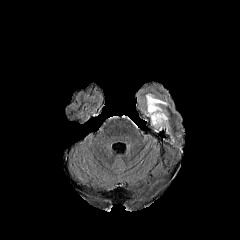
FLAIR MRI.
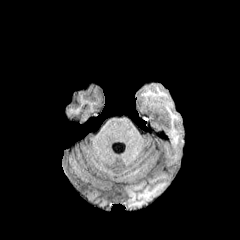
T1-weighted MR of the same slice.
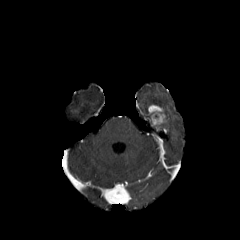
Post-contrast T1-weighted magnetic resonance of the same slice.
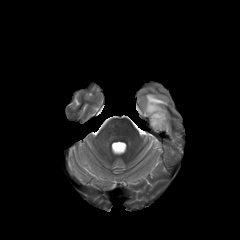
T2-weighted MR.
Axial plane.
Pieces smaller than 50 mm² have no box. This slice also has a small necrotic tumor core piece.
enhancing tumor: [x1=148, y1=104, x2=167, y2=130]
peritumoral edema: [x1=137, y1=84, x2=169, y2=134]